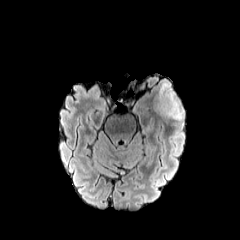
FLAIR MRI.
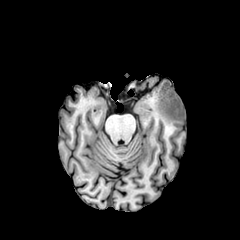
T1-weighted magnetic resonance.
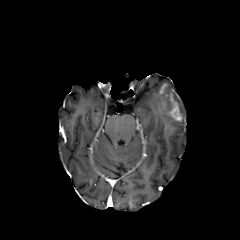
Post-contrast T1-weighted MR.
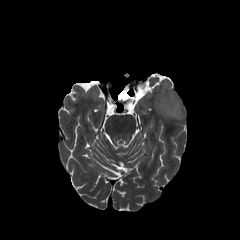
T2-weighted magnetic resonance.
peritumoral edema: box=[162, 80, 184, 124]; box=[156, 93, 173, 119] | enhancing tumor: box=[159, 83, 182, 121]